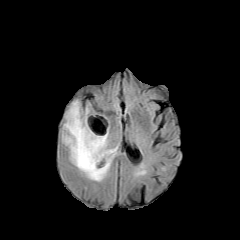
FLAIR MRI.
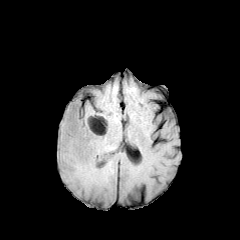
T1-weighted MR of the same slice.
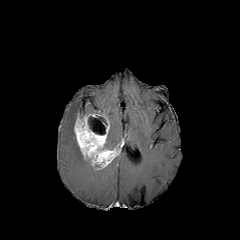
Same slice, post-contrast T1-weighted MR.
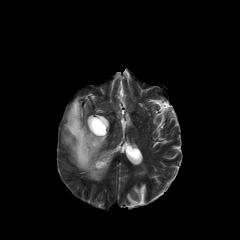
Same slice, T2-weighted MR image.
240x240 px. Brain.
necrotic tumor core at [88, 115, 107, 134]
enhancing tumor at [74, 114, 118, 169]
peritumoral edema at [103, 133, 118, 149], [62, 99, 111, 181]